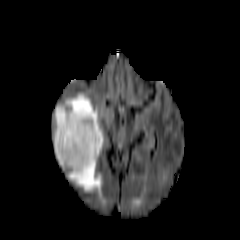
FLAIR magnetic resonance.
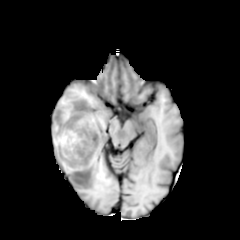
T1-weighted magnetic resonance.
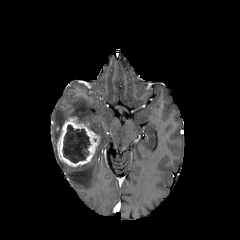
Post-contrast T1-weighted MR.
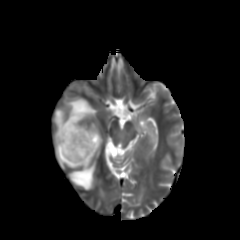
Same slice, T2-weighted MRI.
240x240 px.
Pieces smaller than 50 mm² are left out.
Segmented structures:
• enhancing tumor: bbox(57, 116, 99, 166)
• peritumoral edema: bbox(53, 92, 103, 197)
• necrotic tumor core: bbox(62, 125, 90, 163)